Brain; Slice 89 of 155; Image size 240x240
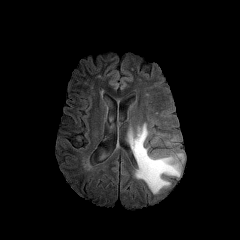
FLAIR magnetic resonance.
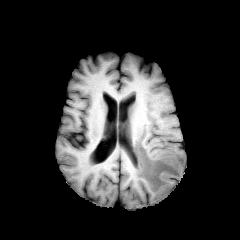
T1-weighted MR image of the same slice.
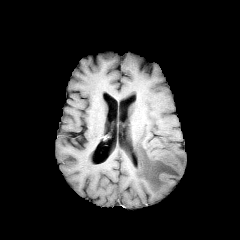
Post-contrast T1-weighted magnetic resonance.
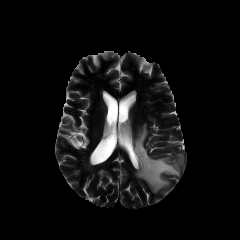
T2-weighted MR image.
The peritumoral edema is at bbox(129, 124, 184, 193).